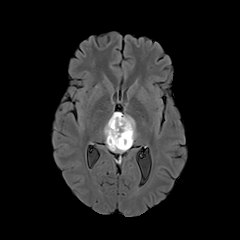
FLAIR MR image.
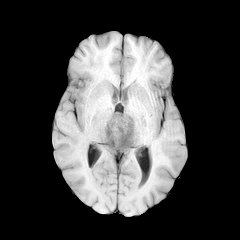
T1-weighted MR.
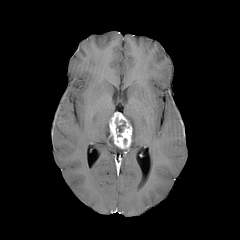
Post-contrast T1-weighted MR.
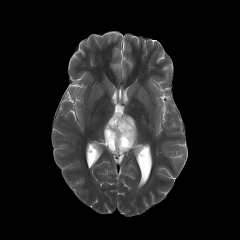
Same slice, T2-weighted MRI.
Axial plane, Head
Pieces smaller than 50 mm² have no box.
<segmentation>
  <enhancing_tumor>left=108, top=112, right=132, bottom=149</enhancing_tumor>
  <necrotic_tumor_core>left=108, top=137, right=115, bottom=146; left=116, top=119, right=125, bottom=132</necrotic_tumor_core>
  <peritumoral_edema>left=103, top=119, right=128, bottom=152; left=123, top=114, right=137, bottom=147</peritumoral_edema>
</segmentation>